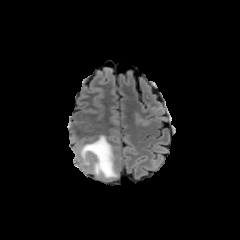
FLAIR MR image.
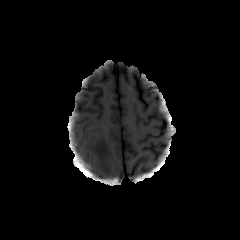
T1-weighted MRI of the same slice.
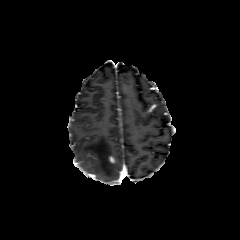
Post-contrast T1-weighted magnetic resonance of the same slice.
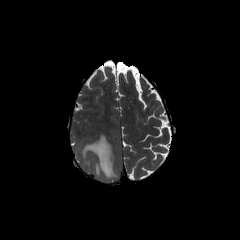
T2-weighted MRI.
{
  "enhancing_tumor": [
    "x1=108 y1=156 x2=115 y2=163"
  ],
  "peritumoral_edema": [
    "x1=80 y1=135 x2=117 y2=180"
  ]
}